Brain | 240x240 px | Slice 74 of 155
FLAIR MRI.
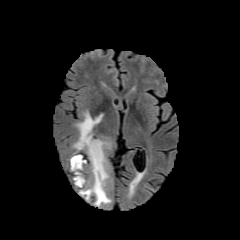
T1-weighted MRI.
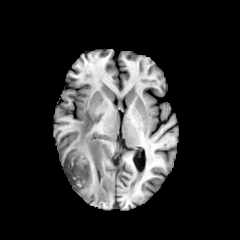
Post-contrast T1-weighted MRI.
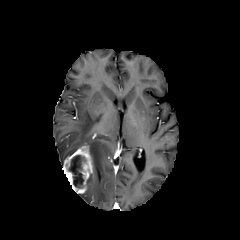
T2-weighted MR.
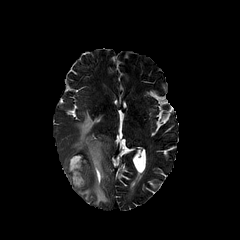
Findings:
* necrotic tumor core: 66 155 85 187
* peritumoral edema: 72 111 110 206
* enhancing tumor: 63 142 93 193